Axial slice | Head
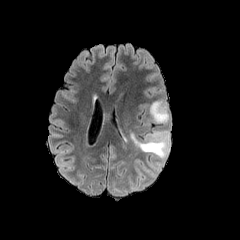
FLAIR MR image.
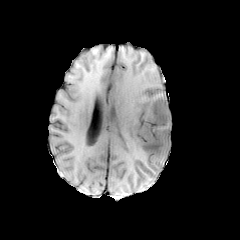
T1-weighted magnetic resonance.
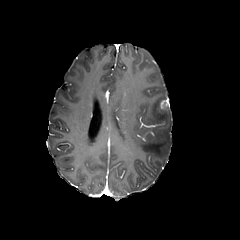
Post-contrast T1-weighted MR of the same slice.
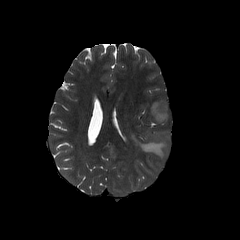
Same slice, T2-weighted MR image.
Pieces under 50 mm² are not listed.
enhancing tumor at x1=159 y1=100 x2=166 y2=109
peritumoral edema at x1=130 y1=130 x2=170 y2=170, x1=150 y1=100 x2=169 y2=123